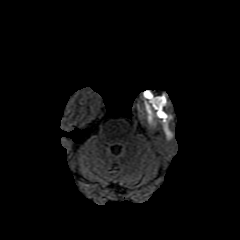
FLAIR magnetic resonance.
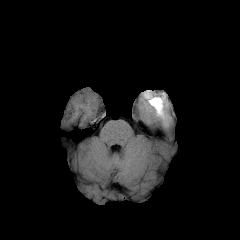
Same slice, T1-weighted MRI.
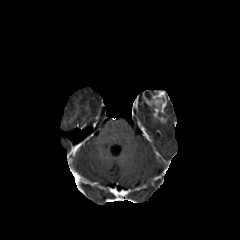
Post-contrast T1-weighted MRI.
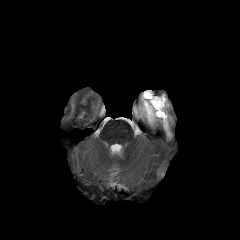
T2-weighted MR.
Axial plane.
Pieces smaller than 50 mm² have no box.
necrotic tumor core: (left=144, top=91, right=151, bottom=100) | peritumoral edema: (left=161, top=111, right=172, bottom=139), (left=138, top=98, right=159, bottom=126) | enhancing tumor: (left=142, top=90, right=166, bottom=123)